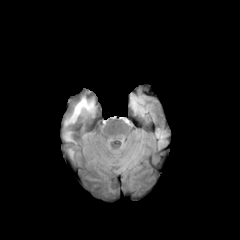
FLAIR MRI.
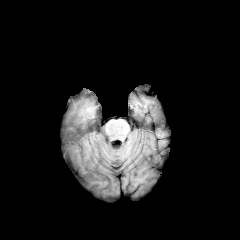
T1-weighted magnetic resonance of the same slice.
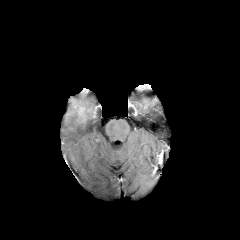
Post-contrast T1-weighted MRI.
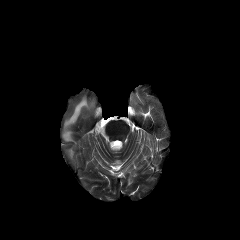
T2-weighted magnetic resonance.
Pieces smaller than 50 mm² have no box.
peritumoral_edema:
  - x1=63 y1=96 x2=95 y2=141